FLAIR MR.
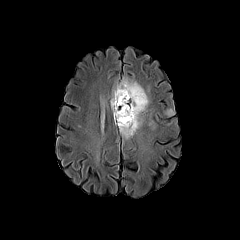
T1-weighted MRI.
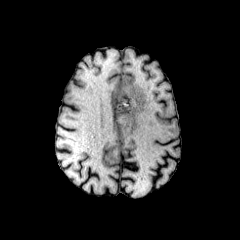
Post-contrast T1-weighted MR image.
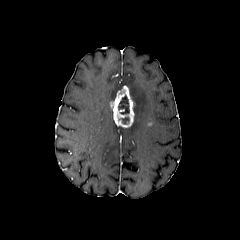
T2-weighted magnetic resonance.
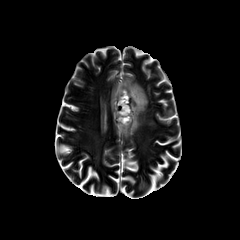
Head; 240x240 px
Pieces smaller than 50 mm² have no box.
enhancing tumor: bounding box 110,85,134,127
peritumoral edema: bounding box 148,120,157,130; 164,109,175,116; 111,78,148,138
necrotic tumor core: bounding box 118,95,129,114